Slice 105/155 | Axial plane
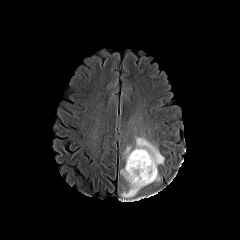
FLAIR MR image.
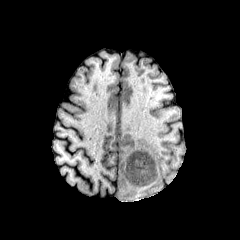
Same slice, T1-weighted MR.
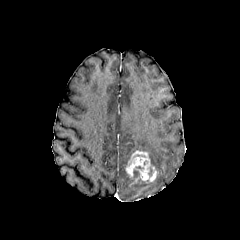
Post-contrast T1-weighted MR image of the same slice.
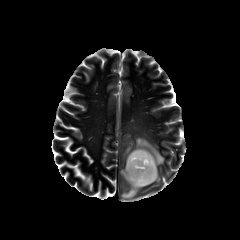
Same slice, T2-weighted magnetic resonance.
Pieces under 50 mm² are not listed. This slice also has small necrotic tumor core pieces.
- peritumoral edema: <box>123,136,164,171</box>, <box>120,168,160,199</box>
- enhancing tumor: <box>125,150,157,186</box>